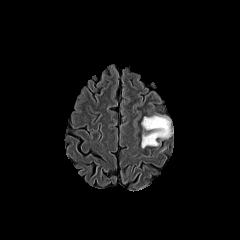
FLAIR magnetic resonance.
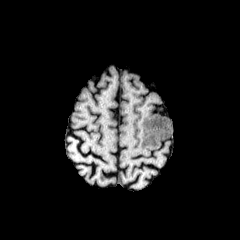
T1-weighted MRI.
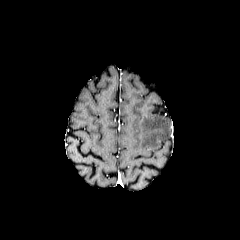
Post-contrast T1-weighted MR image.
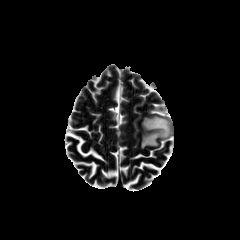
T2-weighted MRI of the same slice.
240x240 px | Axial view
Annotated regions:
* peritumoral edema: rect(141, 115, 171, 148)